Axial slice
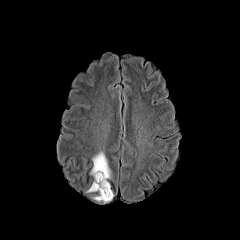
FLAIR MR.
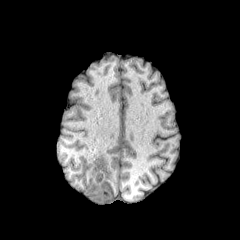
T1-weighted MR.
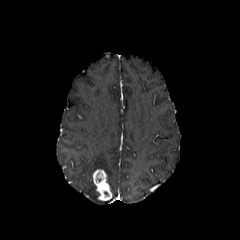
Post-contrast T1-weighted magnetic resonance of the same slice.
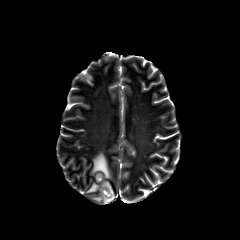
T2-weighted MR.
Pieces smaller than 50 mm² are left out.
2 necrotic tumor core regions are located at <bbox>96, 172, 105, 184</bbox>, <bbox>103, 191, 110, 199</bbox>. The enhancing tumor lies within <bbox>93, 169, 112, 200</bbox>. The 3 largest peritumoral edema regions are bounded by <bbox>92, 195, 111, 203</bbox>, <bbox>86, 182, 96, 192</bbox>, <bbox>90, 151, 111, 179</bbox>.